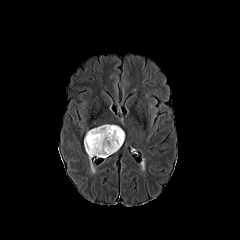
FLAIR MR image.
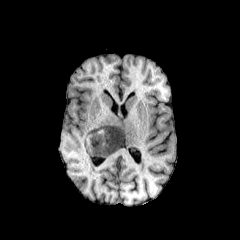
T1-weighted MR image.
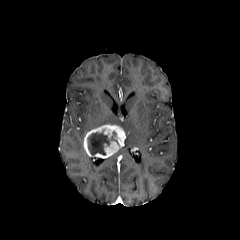
Same slice, post-contrast T1-weighted MRI.
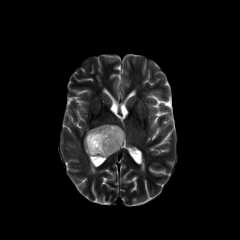
T2-weighted MR of the same slice.
Brain
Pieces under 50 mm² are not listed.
Segmented structures:
* necrotic tumor core: [x1=87, y1=132, x2=109, y2=155]
* enhancing tumor: [x1=84, y1=124, x2=125, y2=158]
* peritumoral edema: [x1=88, y1=156, x2=95, y2=173]